Slice index 116 | Head | Image covers 240 mm x 240 mm
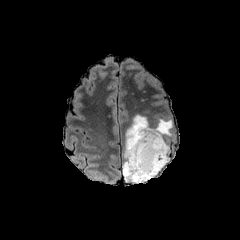
FLAIR MR image.
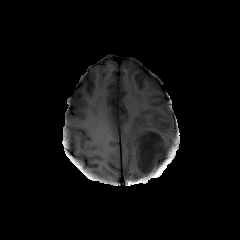
T1-weighted magnetic resonance of the same slice.
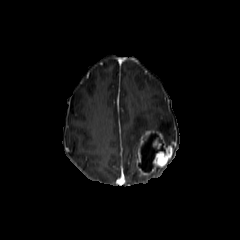
Same slice, post-contrast T1-weighted MRI.
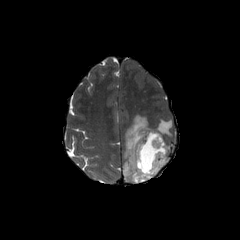
T2-weighted magnetic resonance.
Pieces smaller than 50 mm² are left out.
Segmented structures:
• peritumoral edema: [122, 114, 173, 183]
• enhancing tumor: [136, 130, 172, 177], [152, 138, 161, 148]
• necrotic tumor core: [138, 133, 165, 172]